FLAIR MR.
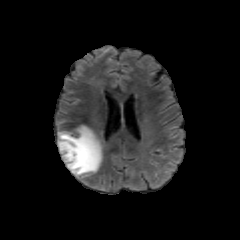
T1-weighted MR image.
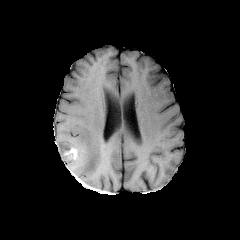
Post-contrast T1-weighted magnetic resonance.
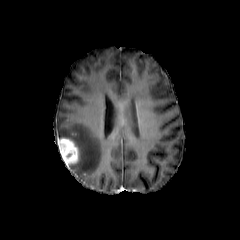
T2-weighted magnetic resonance.
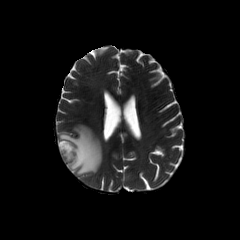
Axial slice. Image size 240x240.
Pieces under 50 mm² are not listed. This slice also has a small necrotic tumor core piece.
enhancing tumor: (58, 138, 79, 169) | peritumoral edema: (58, 125, 102, 178)